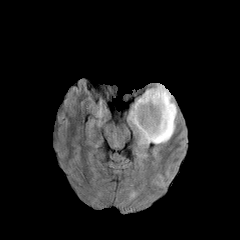
FLAIR MR image.
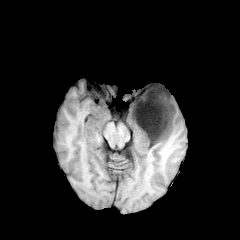
T1-weighted MRI of the same slice.
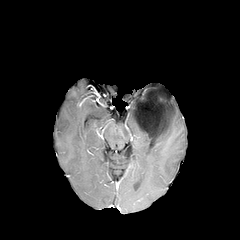
Same slice, post-contrast T1-weighted MRI.
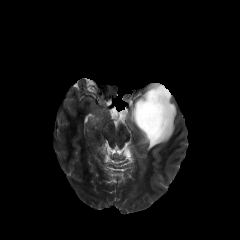
T2-weighted MR.
Axial slice, Image size 240x240
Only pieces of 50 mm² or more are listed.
necrotic tumor core: (left=134, top=87, right=171, bottom=138)
enhancing tumor: (left=133, top=86, right=173, bottom=141)
peritumoral edema: (left=128, top=93, right=177, bottom=145)